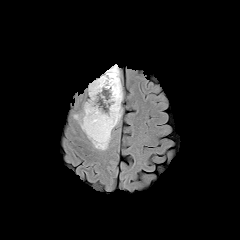
FLAIR magnetic resonance.
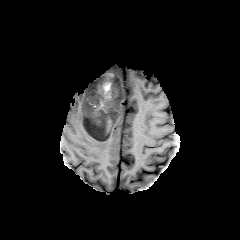
T1-weighted MR image.
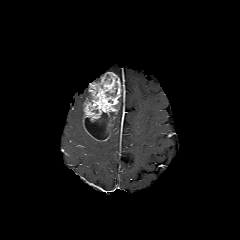
Post-contrast T1-weighted MR image of the same slice.
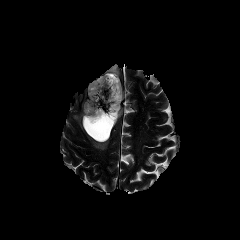
T2-weighted MR image.
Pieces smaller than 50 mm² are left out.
enhancing tumor: 82,72,122,141 | peritumoral edema: 106,64,119,77; 73,112,85,132; 112,92,123,130; 86,131,111,150 | necrotic tumor core: 85,112,115,139